Slice 61/155 | Axial plane | Head
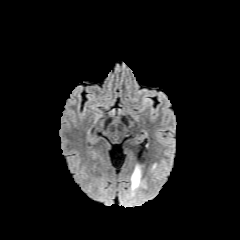
FLAIR MRI.
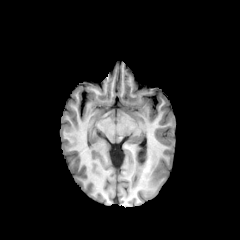
T1-weighted magnetic resonance.
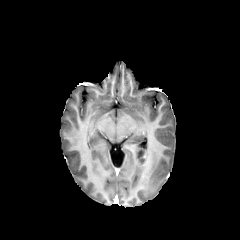
Post-contrast T1-weighted MRI.
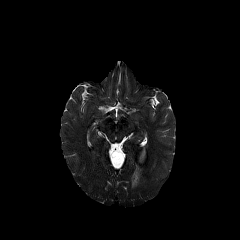
T2-weighted MR image.
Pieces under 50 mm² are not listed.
{"peritumoral_edema": ["[131, 165, 142, 194]"]}